FLAIR MR.
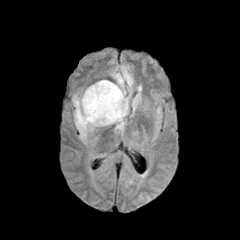
T1-weighted magnetic resonance.
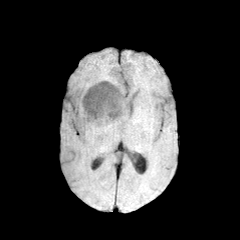
Post-contrast T1-weighted MR image.
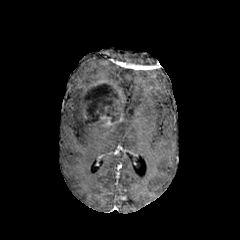
T2-weighted MR.
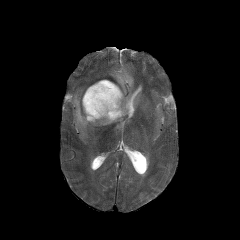
Brain
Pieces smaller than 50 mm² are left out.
Segmented structures:
- necrotic tumor core: <bbox>84, 83, 122, 123</bbox>
- enhancing tumor: <bbox>79, 80, 125, 126</bbox>
- peritumoral edema: <bbox>111, 68, 126, 96</bbox>, <bbox>115, 66, 133, 133</bbox>, <bbox>72, 95, 103, 140</bbox>